FLAIR MR image.
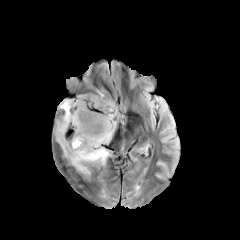
T1-weighted MR image.
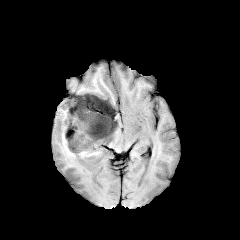
Post-contrast T1-weighted MR.
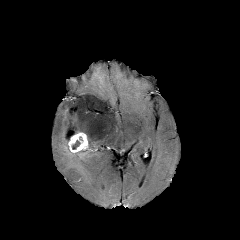
T2-weighted MR image.
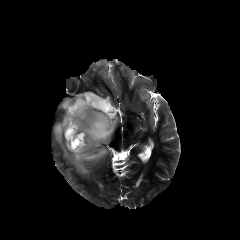
Image size 240x240
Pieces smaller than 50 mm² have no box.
{
  "peritumoral_edema": [
    "left=54, top=90, right=118, bottom=176"
  ],
  "necrotic_tumor_core": [
    "left=65, top=130, right=75, bottom=141"
  ],
  "enhancing_tumor": [
    "left=64, top=129, right=88, bottom=153"
  ]
}